Brain. Axial view.
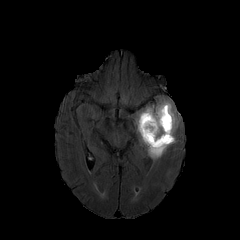
FLAIR MR image.
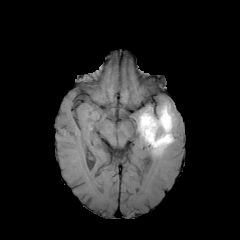
T1-weighted MR.
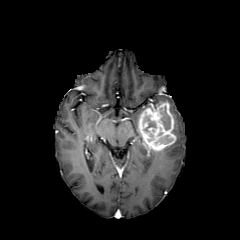
Post-contrast T1-weighted MR image.
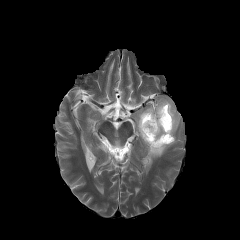
Same slice, T2-weighted magnetic resonance.
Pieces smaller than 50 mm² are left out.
The 3 largest peritumoral edema regions are located at bbox(156, 97, 180, 134); bbox(146, 146, 169, 159); bbox(134, 109, 144, 144). The 3 largest necrotic tumor core regions appear at bbox(143, 116, 155, 131); bbox(159, 135, 171, 143); bbox(161, 107, 170, 129). The enhancing tumor lies within bbox(138, 102, 176, 151).